Axial view.
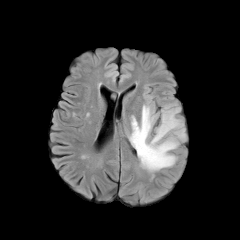
FLAIR MR.
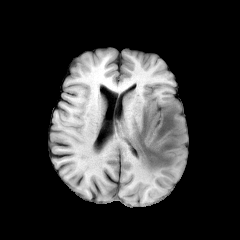
Same slice, T1-weighted MRI.
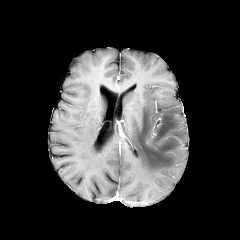
Post-contrast T1-weighted MR.
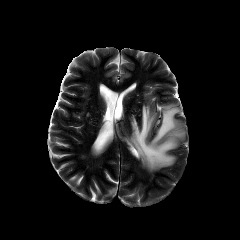
T2-weighted MRI of the same slice.
- peritumoral edema: (left=129, top=104, right=185, bottom=172)